Image covers 240 mm x 240 mm, Head
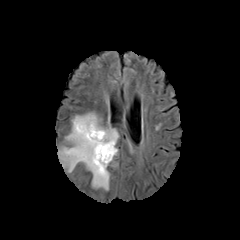
FLAIR MRI.
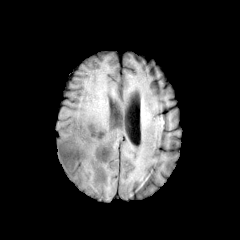
T1-weighted magnetic resonance.
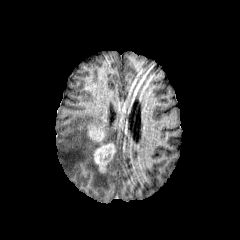
Post-contrast T1-weighted MRI of the same slice.
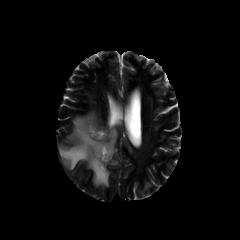
T2-weighted MRI.
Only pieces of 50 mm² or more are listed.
Findings:
- peritumoral edema: x1=58 y1=112 x2=118 y2=189
- enhancing tumor: x1=88 y1=124 x2=105 y2=141, x1=94 y1=143 x2=115 y2=172